Axial view | Slice 104 of 155
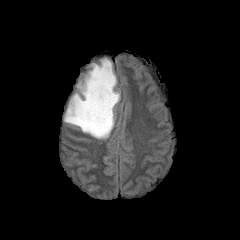
FLAIR MR image.
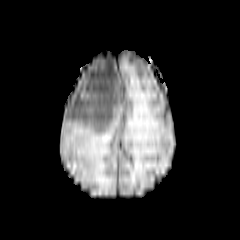
T1-weighted magnetic resonance.
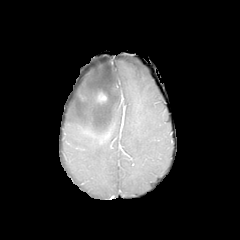
Post-contrast T1-weighted MR image.
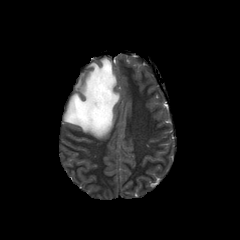
T2-weighted MR of the same slice.
<segmentation>
  <peritumoral_edema>64,58,120,139</peritumoral_edema>
  <enhancing_tumor>96,92,107,103</enhancing_tumor>
</segmentation>